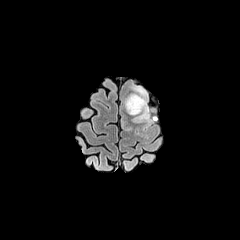
FLAIR MR image.
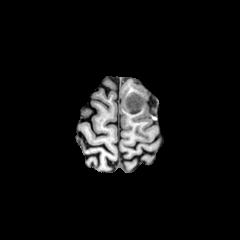
T1-weighted magnetic resonance.
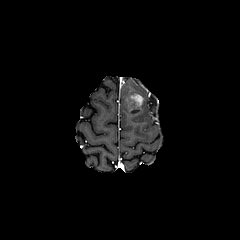
Same slice, post-contrast T1-weighted MRI.
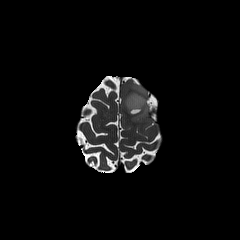
T2-weighted magnetic resonance.
Axial plane, Head
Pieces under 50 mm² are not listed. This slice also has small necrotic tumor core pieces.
The peritumoral edema is bounded by [123, 84, 153, 123]. The enhancing tumor is at [126, 94, 143, 115].